Head | Axial view
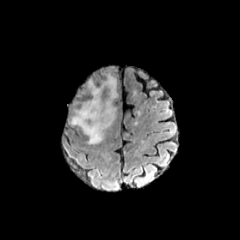
FLAIR magnetic resonance.
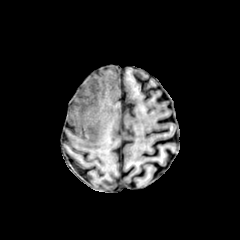
T1-weighted MR image.
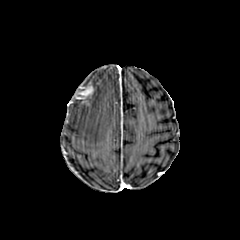
Post-contrast T1-weighted magnetic resonance of the same slice.
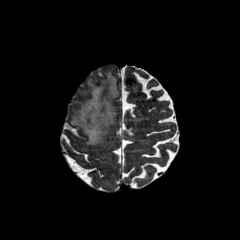
Same slice, T2-weighted MR image.
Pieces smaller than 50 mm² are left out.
The largest peritumoral edema region is at 71 73 116 144. The enhancing tumor is located at 75 81 95 105.